240x240 px, Slice 129/155, Axial slice, Brain
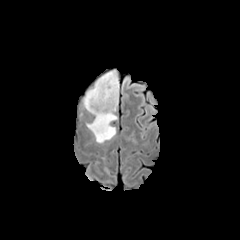
FLAIR MR image.
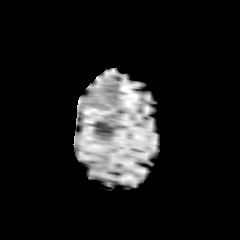
Same slice, T1-weighted MR image.
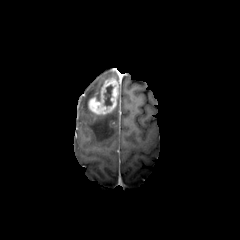
Post-contrast T1-weighted MR of the same slice.
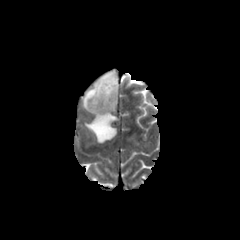
Same slice, T2-weighted magnetic resonance.
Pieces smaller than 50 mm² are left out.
The largest necrotic tumor core region is at x1=104, y1=85, x2=112, y2=106. The 2 largest peritumoral edema regions are bounded by x1=87, y1=112, x2=116, y2=143; x1=84, y1=71, x2=115, y2=112. The enhancing tumor appears at x1=88, y1=77, x2=118, y2=114.